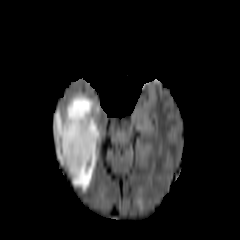
FLAIR MR image.
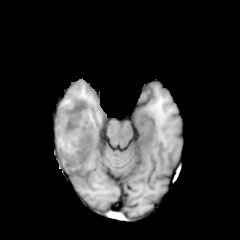
Same slice, T1-weighted MRI.
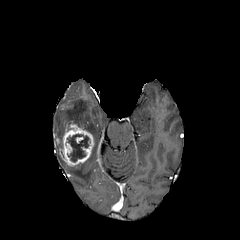
Post-contrast T1-weighted MR.
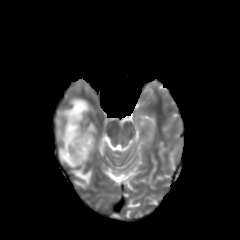
T2-weighted magnetic resonance.
Axial slice
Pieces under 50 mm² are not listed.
enhancing tumor — rect(59, 120, 94, 166)
necrotic tumor core — rect(67, 134, 90, 161)
peritumoral edema — rect(53, 94, 100, 193)